FLAIR MR image.
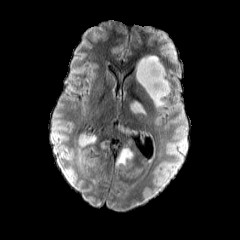
T1-weighted magnetic resonance.
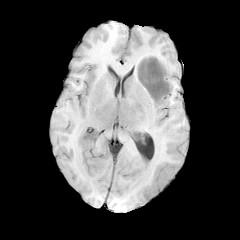
Post-contrast T1-weighted MRI.
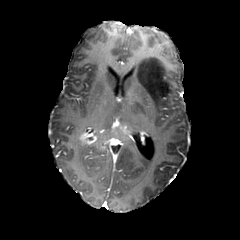
T2-weighted MR image.
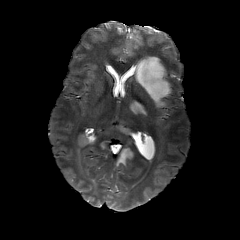
240x240
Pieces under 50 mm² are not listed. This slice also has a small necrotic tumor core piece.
enhancing tumor = box(112, 120, 131, 135); box(79, 133, 96, 144)
peritumoral edema = box(135, 56, 170, 106); box(130, 100, 145, 114); box(117, 148, 134, 166)